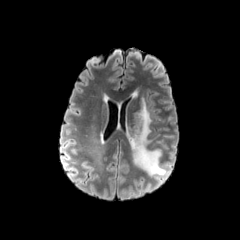
FLAIR MR image.
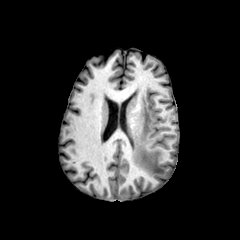
T1-weighted magnetic resonance of the same slice.
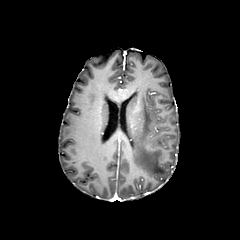
Same slice, post-contrast T1-weighted MR.
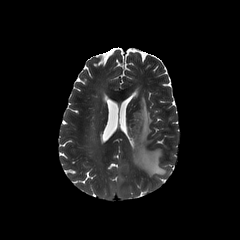
Same slice, T2-weighted MRI.
240x240.
{"peritumoral_edema": ["(126,98,166,175)"]}